Axial view, Image size 240x240, Image width 240 mm
FLAIR MR image.
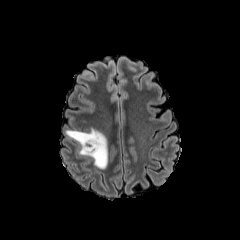
T1-weighted magnetic resonance.
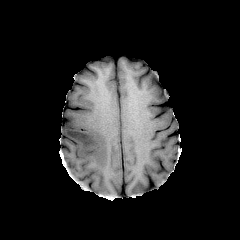
Post-contrast T1-weighted MR.
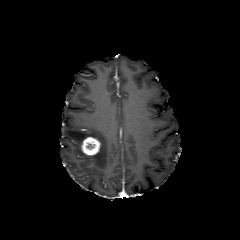
T2-weighted MR.
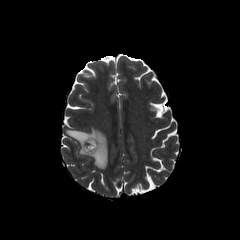
Segmented structures:
• peritumoral edema: 66:128:108:169
• enhancing tumor: 81:137:101:155